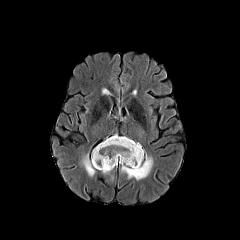
FLAIR MRI.
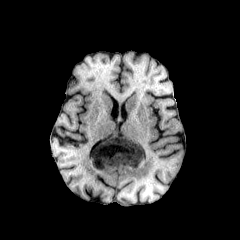
T1-weighted MR of the same slice.
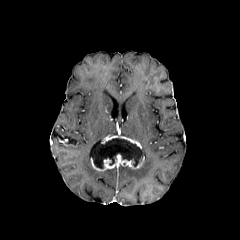
Post-contrast T1-weighted MR image.
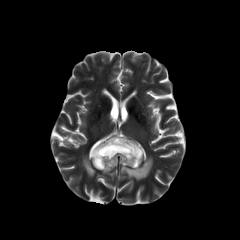
T2-weighted MRI.
Brain. Axial plane.
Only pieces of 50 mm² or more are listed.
peritumoral_edema:
  - [82, 155, 95, 176]
  - [120, 157, 152, 180]
enhancing_tumor:
  - [91, 154, 144, 171]
  - [101, 135, 141, 148]
necrotic_tumor_core:
  - [91, 138, 143, 168]